FLAIR MR.
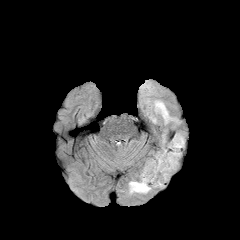
T1-weighted MRI.
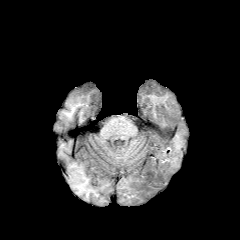
Post-contrast T1-weighted MR image.
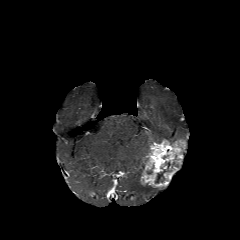
T2-weighted MR image.
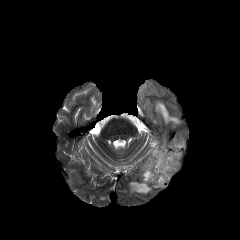
Axial slice
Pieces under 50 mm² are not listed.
enhancing_tumor:
  - box(140, 139, 186, 188)
peritumoral_edema:
  - box(154, 100, 180, 124)
  - box(129, 181, 151, 193)
necrotic_tumor_core:
  - box(155, 170, 165, 182)